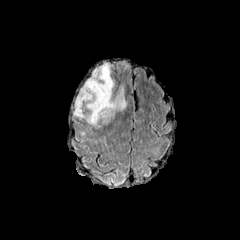
FLAIR MR.
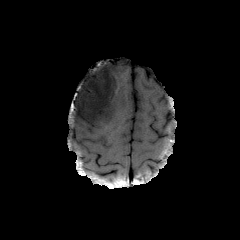
T1-weighted magnetic resonance.
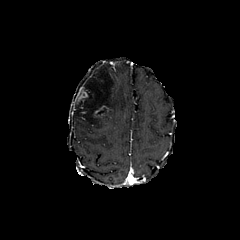
Same slice, post-contrast T1-weighted MR image.
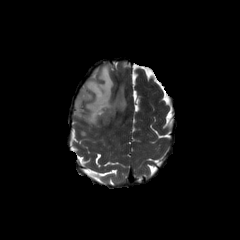
T2-weighted magnetic resonance.
Head, Axial plane, Image size 240x240
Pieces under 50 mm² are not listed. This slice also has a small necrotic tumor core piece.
<segmentation>
  <enhancing_tumor>bbox(76, 89, 88, 103); bbox(94, 105, 111, 118)</enhancing_tumor>
  <peritumoral_edema>bbox(73, 63, 126, 128)</peritumoral_edema>
</segmentation>